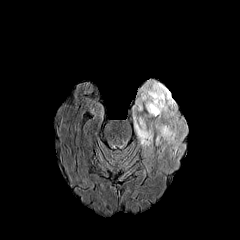
FLAIR MRI.
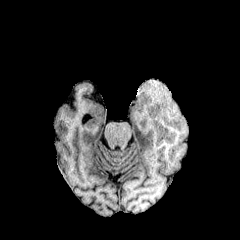
T1-weighted MR image.
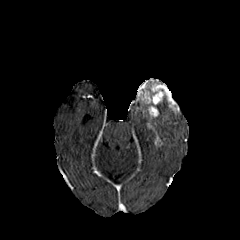
Post-contrast T1-weighted MRI.
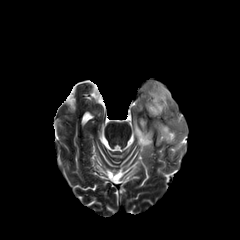
T2-weighted magnetic resonance of the same slice.
Axial view
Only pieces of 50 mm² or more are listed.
The largest peritumoral edema region appears at [133, 104, 183, 152]. The 2 largest enhancing tumor regions are located at [155, 134, 162, 145], [136, 80, 177, 116].